FLAIR magnetic resonance.
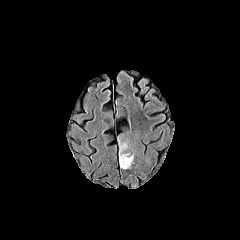
T1-weighted MR.
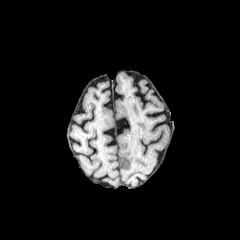
Post-contrast T1-weighted MRI.
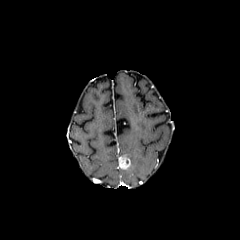
T2-weighted MR image.
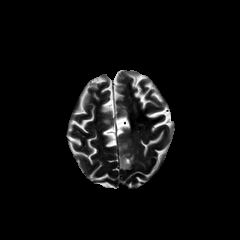
Head; Image size 240x240; Axial plane
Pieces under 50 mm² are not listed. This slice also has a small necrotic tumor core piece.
Findings:
- peritumoral edema: [118, 140, 133, 163]
- enhancing tumor: [119, 155, 130, 169]